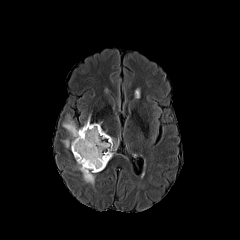
FLAIR magnetic resonance.
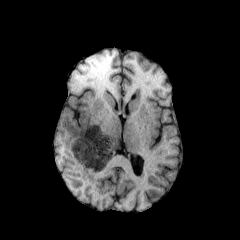
T1-weighted MR image.
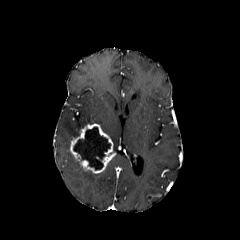
Same slice, post-contrast T1-weighted MR.
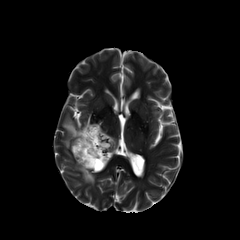
Same slice, T2-weighted MR image.
240x240.
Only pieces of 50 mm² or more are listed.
The 3 largest peritumoral edema regions are bounded by x1=75 y1=162 x2=95 y2=185, x1=110 y1=137 x2=118 y2=150, x1=62 y1=116 x2=80 y2=151. The necrotic tumor core is located at x1=73 y1=127 x2=110 y2=170. The largest enhancing tumor region is bounded by x1=70 y1=123 x2=115 y2=173.